FLAIR magnetic resonance.
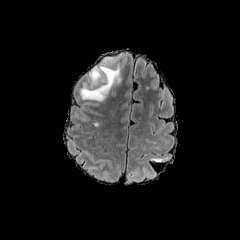
T1-weighted MR.
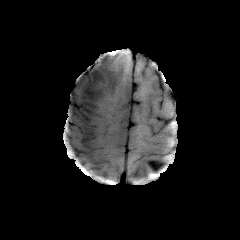
Post-contrast T1-weighted MRI.
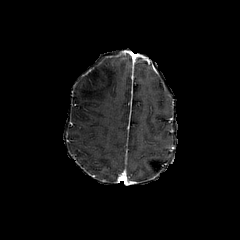
T2-weighted MR.
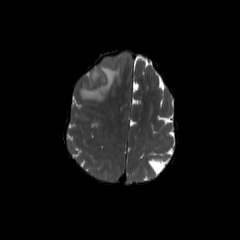
240x240; Axial slice
peritumoral_edema:
  - (x1=80, y1=57, x2=120, y2=101)